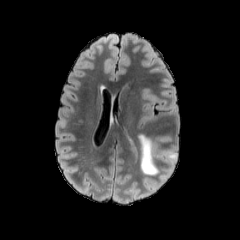
FLAIR MRI.
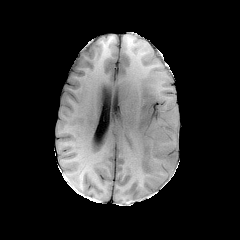
T1-weighted MR image.
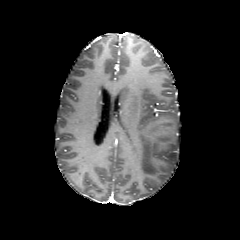
Same slice, post-contrast T1-weighted MRI.
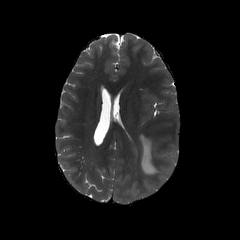
T2-weighted MR.
{
  "peritumoral_edema": [
    "(164, 152, 176, 162)",
    "(139, 134, 159, 174)"
  ]
}